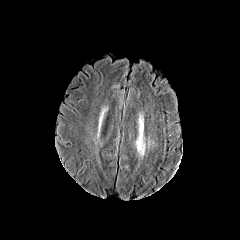
FLAIR magnetic resonance.
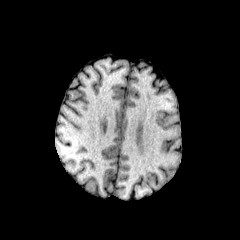
T1-weighted MR image of the same slice.
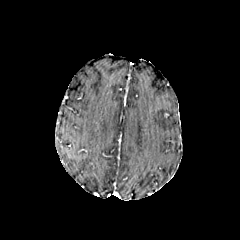
Post-contrast T1-weighted MR of the same slice.
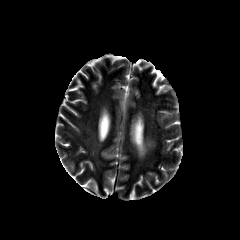
T2-weighted MRI.
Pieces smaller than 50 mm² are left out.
Annotated regions:
* peritumoral edema: (x1=136, y1=124, x2=145, y2=156)